Image size 240x240, Slice 131/155, Head
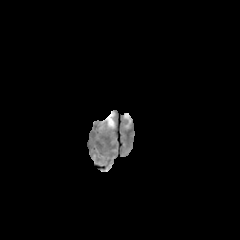
FLAIR magnetic resonance.
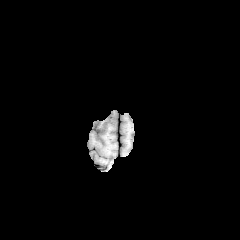
T1-weighted MR.
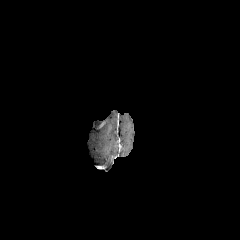
Same slice, post-contrast T1-weighted MR image.
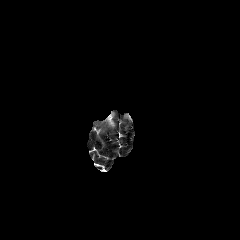
T2-weighted magnetic resonance.
peritumoral edema: bbox(123, 113, 131, 128); bbox(105, 112, 114, 127)